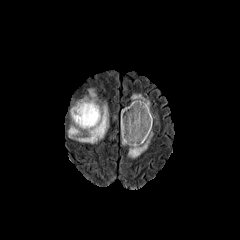
FLAIR MR.
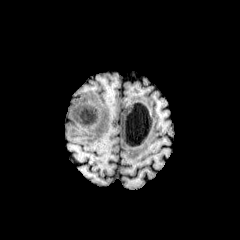
T1-weighted MR of the same slice.
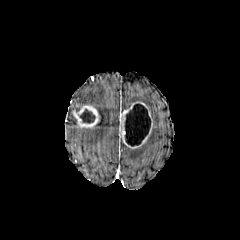
Post-contrast T1-weighted MR.
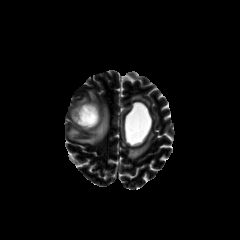
T2-weighted magnetic resonance.
Axial plane, Brain, Image size 240x240
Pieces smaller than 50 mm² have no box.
The 4 largest peritumoral edema regions are located at 128:132:153:158, 71:105:79:125, 131:94:150:109, 68:89:108:143. 2 enhancing tumor regions are bounded by 120:101:152:148, 72:104:99:128. 2 necrotic tumor core regions are located at 80:109:95:122, 125:103:150:146.